FLAIR MR.
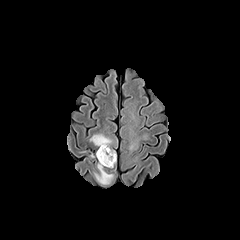
T1-weighted MR.
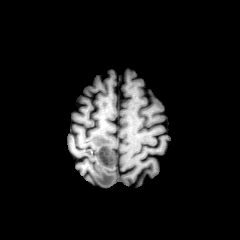
Post-contrast T1-weighted magnetic resonance.
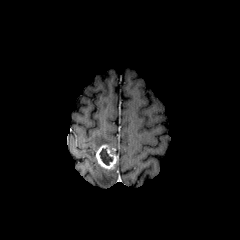
T2-weighted MRI.
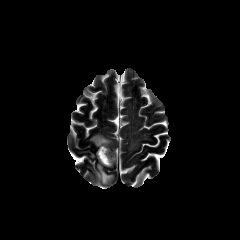
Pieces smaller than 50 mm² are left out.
peritumoral edema: {"x1": 90, "y1": 134, "x2": 112, "y2": 147}, {"x1": 94, "y1": 164, "x2": 113, "y2": 184}
enhancing tumor: {"x1": 96, "y1": 144, "x2": 116, "y2": 169}
necrotic tumor core: {"x1": 100, "y1": 148, "x2": 112, "y2": 165}